Head
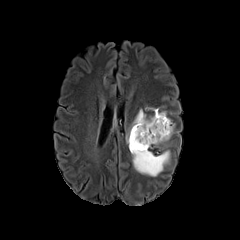
FLAIR MR image.
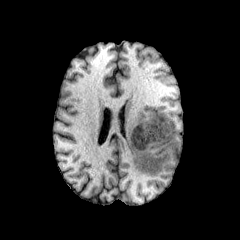
Same slice, T1-weighted magnetic resonance.
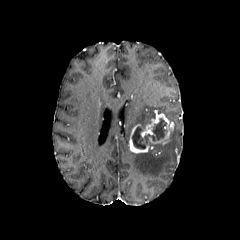
Same slice, post-contrast T1-weighted MR.
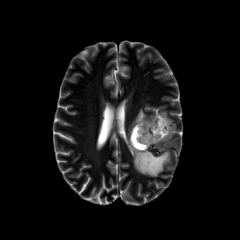
Same slice, T2-weighted MR.
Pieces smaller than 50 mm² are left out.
Annotated regions:
- peritumoral edema: x1=131, y1=151, x2=169, y2=176; x1=126, y1=109, x2=154, y2=145
- enhancing tumor: x1=129, y1=110, x2=173, y2=153
- necrotic tumor core: x1=144, y1=118, x2=166, y2=143; x1=132, y1=126, x2=145, y2=148